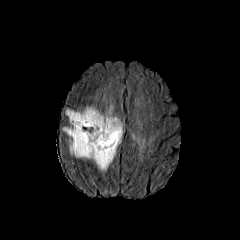
FLAIR magnetic resonance.
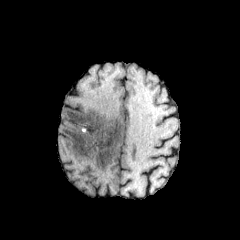
T1-weighted MRI.
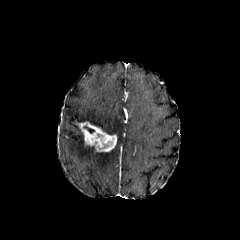
Same slice, post-contrast T1-weighted MRI.
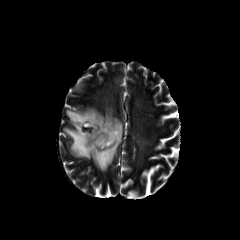
T2-weighted MR image of the same slice.
Brain
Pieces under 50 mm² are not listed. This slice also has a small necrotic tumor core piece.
The 2 largest peritumoral edema regions are bounded by {"x1": 131, "y1": 134, "x2": 145, "y2": 146}, {"x1": 62, "y1": 104, "x2": 123, "y2": 171}. The enhancing tumor is bounded by {"x1": 75, "y1": 121, "x2": 117, "y2": 152}.